FLAIR MRI.
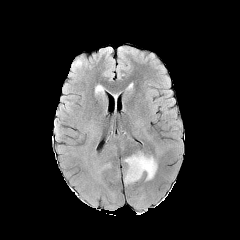
T1-weighted MRI.
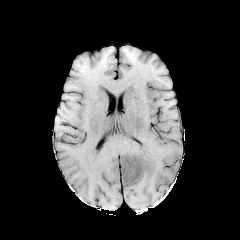
Post-contrast T1-weighted magnetic resonance.
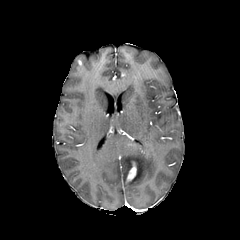
T2-weighted MR image.
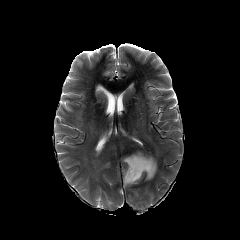
Brain; Axial view
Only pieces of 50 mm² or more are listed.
The largest enhancing tumor region is located at {"x1": 126, "y1": 161, "x2": 137, "y2": 182}. The peritumoral edema is bounded by {"x1": 123, "y1": 152, "x2": 157, "y2": 184}.